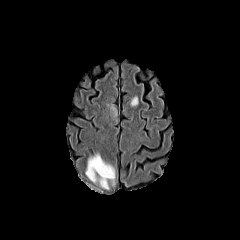
FLAIR MR image.
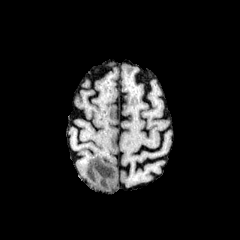
T1-weighted MR image of the same slice.
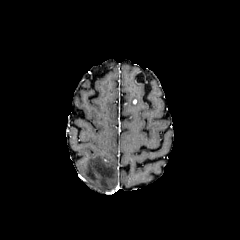
Same slice, post-contrast T1-weighted MR image.
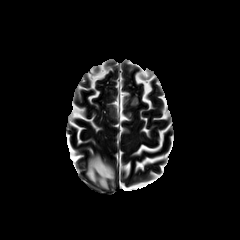
Same slice, T2-weighted MR.
Brain
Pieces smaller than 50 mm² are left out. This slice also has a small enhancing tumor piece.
3 peritumoral edema regions are bounded by x1=106 y1=103 x2=118 y2=122, x1=84 y1=151 x2=117 y2=190, x1=130 y1=95 x2=138 y2=108.